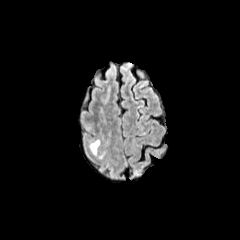
FLAIR MRI.
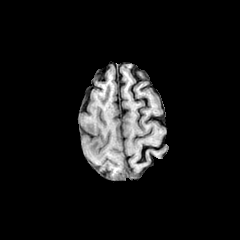
Same slice, T1-weighted MRI.
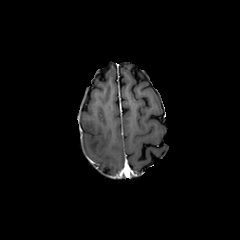
Same slice, post-contrast T1-weighted MR.
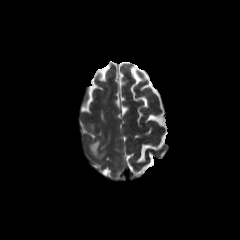
Same slice, T2-weighted magnetic resonance.
Axial slice
<segmentation>
  <peritumoral_edema>[x1=89, y1=140, x2=106, y2=159]</peritumoral_edema>
</segmentation>